FLAIR MRI.
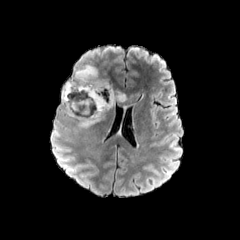
T1-weighted magnetic resonance.
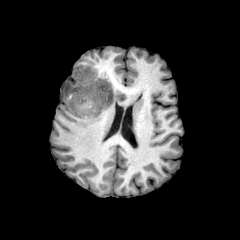
Post-contrast T1-weighted MRI.
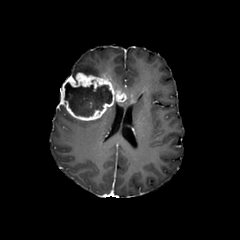
T2-weighted MR image.
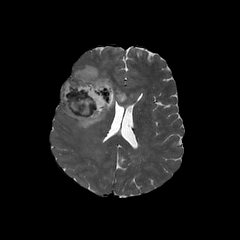
240x240 px | Axial slice
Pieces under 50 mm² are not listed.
<segmentation>
  <peritumoral_edema>box=[125, 92, 139, 101]; box=[72, 64, 101, 75]; box=[62, 107, 105, 128]</peritumoral_edema>
  <enhancing_tumor>box=[60, 72, 127, 121]</enhancing_tumor>
  <necrotic_tumor_core>box=[64, 82, 112, 117]</necrotic_tumor_core>
</segmentation>